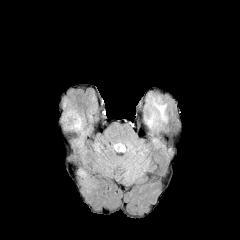
FLAIR magnetic resonance.
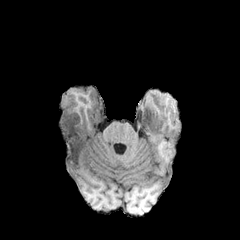
Same slice, T1-weighted MR image.
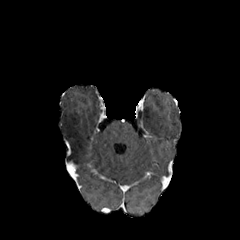
Same slice, post-contrast T1-weighted MRI.
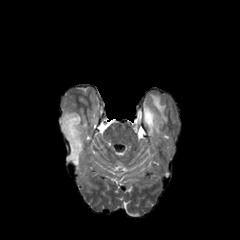
T2-weighted MR.
Axial slice
4 peritumoral edema regions are located at (x1=144, y1=98, x2=167, y2=127), (x1=78, y1=169, x2=89, y2=180), (x1=87, y1=107, x2=96, y2=121), (x1=59, y1=99, x2=92, y2=164).